FLAIR magnetic resonance.
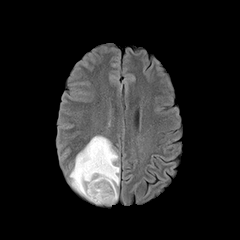
T1-weighted magnetic resonance.
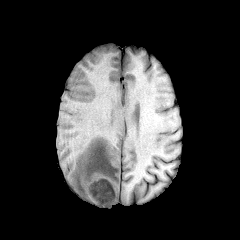
Post-contrast T1-weighted MRI.
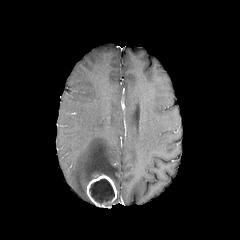
T2-weighted magnetic resonance.
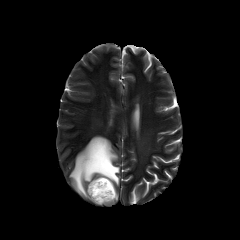
Axial slice, 240x240 px, Head
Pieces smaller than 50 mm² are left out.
The enhancing tumor is bounded by box(86, 174, 117, 206). The necrotic tumor core is bounded by box(89, 179, 114, 203). The largest peritumoral edema region appears at box(69, 135, 119, 199).